FLAIR MRI.
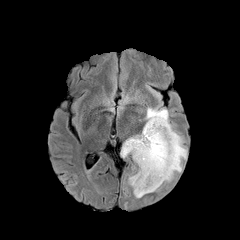
T1-weighted MRI.
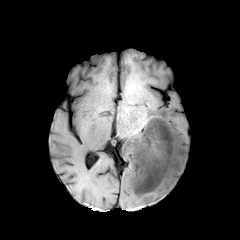
Post-contrast T1-weighted MRI.
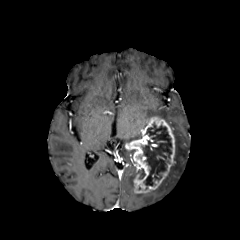
T2-weighted MRI.
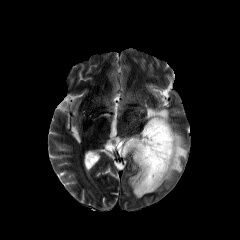
Head. Axial view.
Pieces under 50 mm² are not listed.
Findings:
* necrotic tumor core: (left=143, top=124, right=171, bottom=185)
* enhancing tumor: (left=125, top=116, right=175, bottom=193)
* peritumoral edema: (left=128, top=166, right=136, bottom=192), (left=144, top=108, right=172, bottom=128), (left=149, top=129, right=187, bottom=192), (left=121, top=134, right=141, bottom=157)